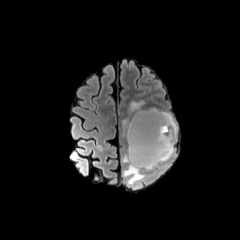
FLAIR MRI.
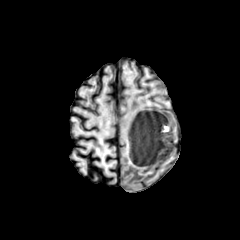
Same slice, T1-weighted MR image.
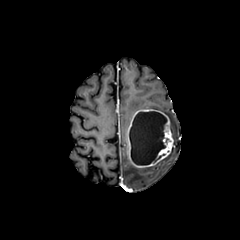
Post-contrast T1-weighted MRI.
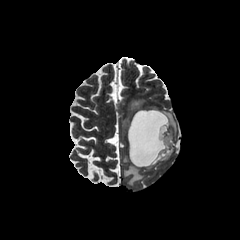
T2-weighted MRI.
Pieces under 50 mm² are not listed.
necrotic tumor core — region(129, 111, 168, 165)
enhancing tumor — region(126, 109, 173, 167)
peritumoral edema — region(161, 111, 177, 142); region(121, 101, 144, 136); region(122, 147, 174, 188)